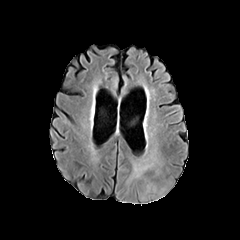
FLAIR MR image.
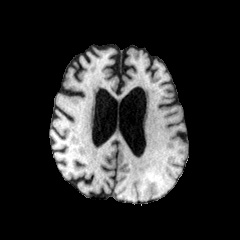
T1-weighted MR image of the same slice.
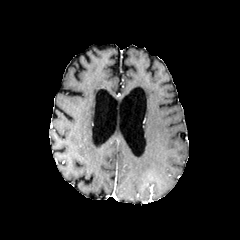
Post-contrast T1-weighted MRI.
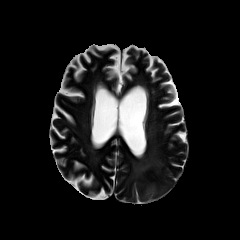
T2-weighted magnetic resonance.
Axial slice | Brain
peritumoral_edema:
  - (x1=130, y1=156, x2=161, y2=179)